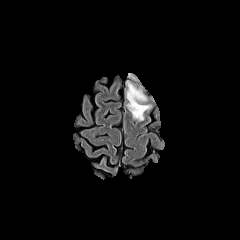
FLAIR magnetic resonance.
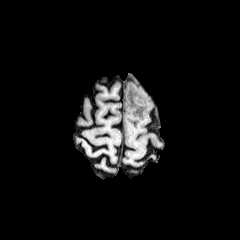
T1-weighted magnetic resonance.
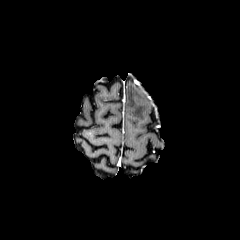
Same slice, post-contrast T1-weighted MRI.
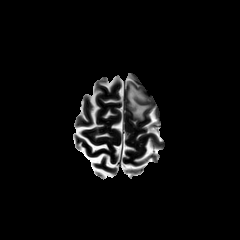
T2-weighted MR image of the same slice.
The peritumoral edema appears at <bbox>127, 82, 150, 120</bbox>.